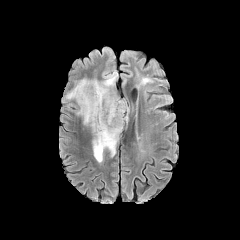
FLAIR MR.
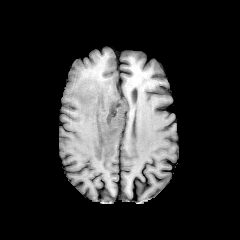
Same slice, T1-weighted MRI.
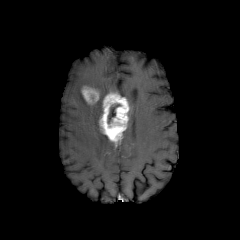
Post-contrast T1-weighted MRI.
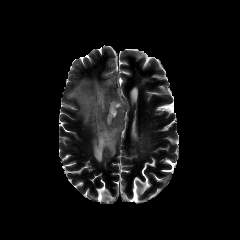
T2-weighted MR image of the same slice.
Axial slice | Brain
2 enhancing tumor regions are located at [x1=81, y1=86, x2=99, y2=105], [x1=98, y1=92, x2=129, y2=146]. The necrotic tumor core appears at [x1=107, y1=103, x2=121, y2=125]. The peritumoral edema is at [x1=66, y1=77, x2=115, y2=162].